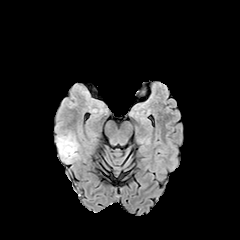
FLAIR magnetic resonance.
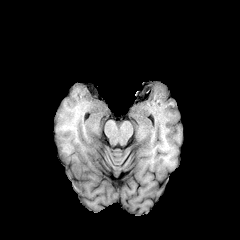
T1-weighted MR image of the same slice.
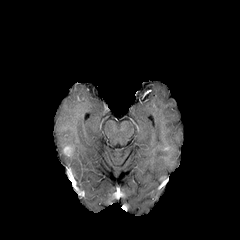
Post-contrast T1-weighted magnetic resonance.
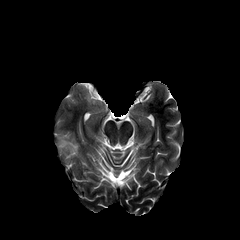
Same slice, T2-weighted magnetic resonance.
Head.
The peritumoral edema is at (57, 134, 78, 163). The enhancing tumor appears at (63, 146, 73, 156).